FLAIR MRI.
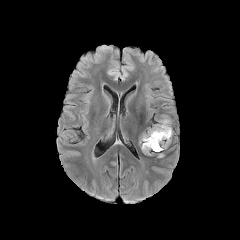
T1-weighted MR.
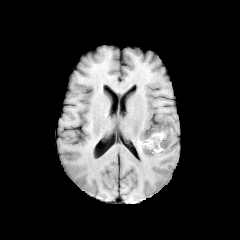
Post-contrast T1-weighted magnetic resonance.
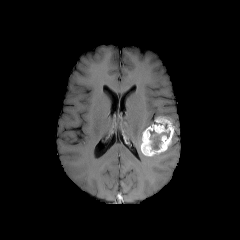
T2-weighted magnetic resonance.
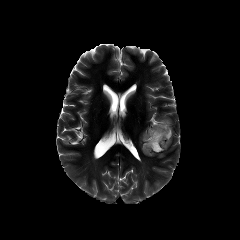
Axial view
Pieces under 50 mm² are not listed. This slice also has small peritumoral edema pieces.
necrotic tumor core — bbox=[150, 130, 169, 149]
enhancing tumor — bbox=[141, 117, 173, 156]